Axial slice | 240x240
FLAIR MR image.
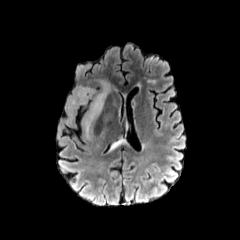
T1-weighted MRI.
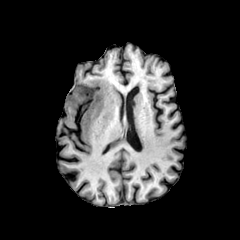
Post-contrast T1-weighted magnetic resonance.
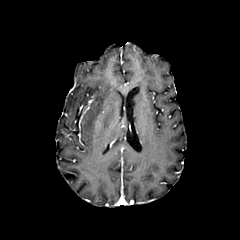
T2-weighted MR.
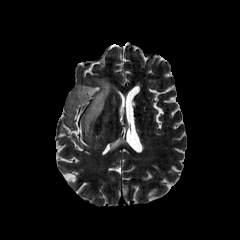
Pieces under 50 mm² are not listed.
- peritumoral edema: box=[66, 79, 112, 138]